Axial plane | Brain | Slice 120 of 155
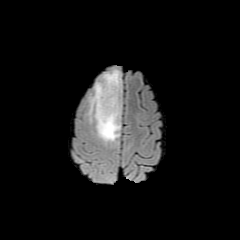
FLAIR magnetic resonance.
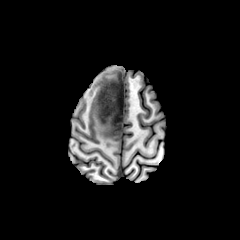
T1-weighted MR image.
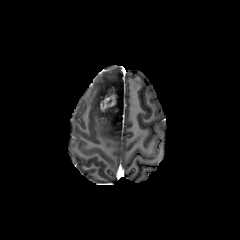
Same slice, post-contrast T1-weighted MR.
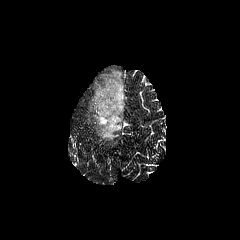
Same slice, T2-weighted MRI.
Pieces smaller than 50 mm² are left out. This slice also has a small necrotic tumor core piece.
enhancing tumor: {"x1": 100, "y1": 86, "x2": 115, "y2": 111} | peritumoral edema: {"x1": 88, "y1": 69, "x2": 122, "y2": 142}